FLAIR MR.
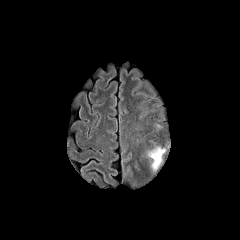
T1-weighted MR.
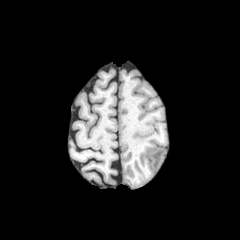
Post-contrast T1-weighted MR image.
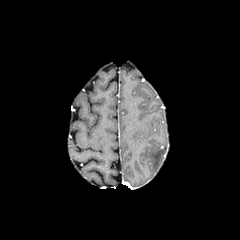
T2-weighted MRI.
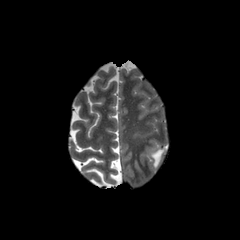
Image size 240x240
The peritumoral edema is at box=[149, 148, 164, 169].